Axial view; Brain; Image covers 240 mm x 240 mm; 240x240
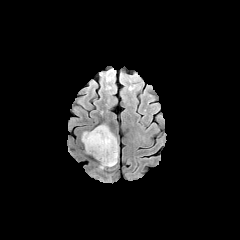
FLAIR MRI.
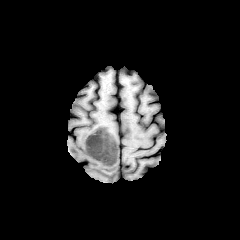
Same slice, T1-weighted MRI.
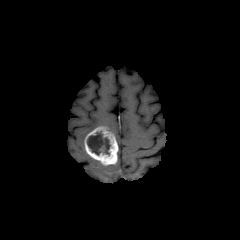
Post-contrast T1-weighted magnetic resonance of the same slice.
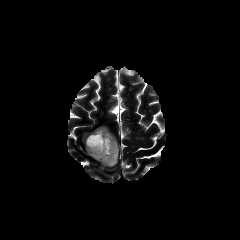
T2-weighted magnetic resonance.
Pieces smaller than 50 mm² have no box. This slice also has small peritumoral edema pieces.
<segmentation>
  <necrotic_tumor_core>bbox(87, 131, 110, 154)</necrotic_tumor_core>
  <enhancing_tumor>bbox(84, 126, 118, 165)</enhancing_tumor>
</segmentation>